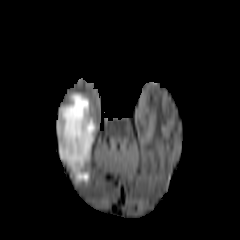
FLAIR MR.
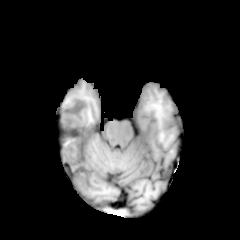
Same slice, T1-weighted magnetic resonance.
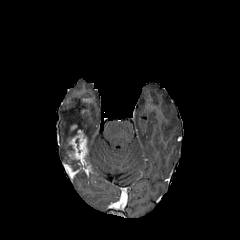
Post-contrast T1-weighted MR.
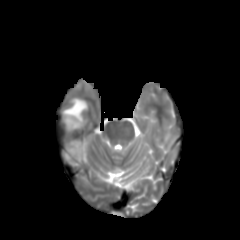
Same slice, T2-weighted MR image.
Brain | Axial slice
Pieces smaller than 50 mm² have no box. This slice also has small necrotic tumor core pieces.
Segmented structures:
• enhancing tumor: [69,129,87,161]
• peritumoral edema: [57,92,95,181]